Axial view. 240x240.
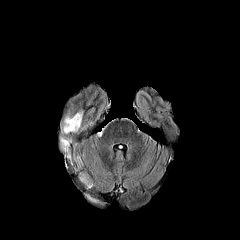
FLAIR MR image.
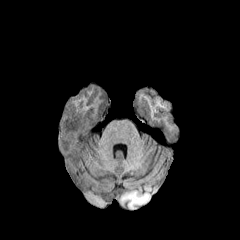
Same slice, T1-weighted MRI.
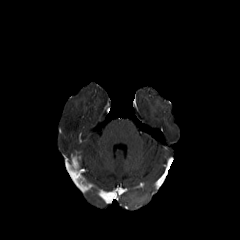
Post-contrast T1-weighted MR.
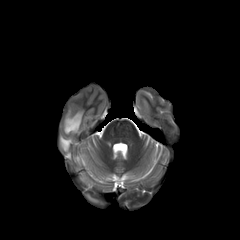
T2-weighted magnetic resonance.
* peritumoral edema: rect(63, 110, 83, 133); rect(60, 137, 71, 153)